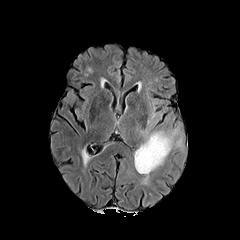
FLAIR MRI.
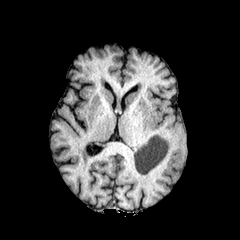
T1-weighted magnetic resonance.
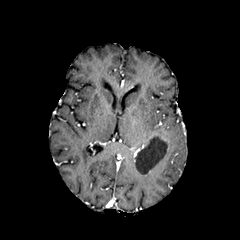
Post-contrast T1-weighted MR image of the same slice.
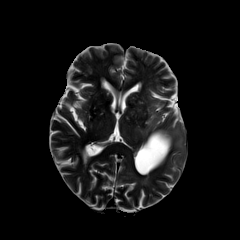
Same slice, T2-weighted MR.
Axial view, Brain
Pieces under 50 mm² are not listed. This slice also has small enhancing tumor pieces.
The necrotic tumor core is located at [135,135,168,173]. The largest peritumoral edema region is at [134,129,177,175].